Brain
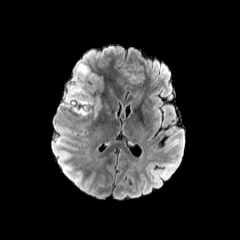
FLAIR MRI.
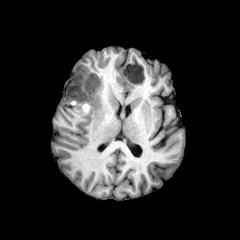
Same slice, T1-weighted MRI.
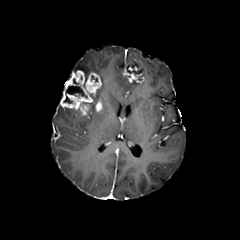
Post-contrast T1-weighted magnetic resonance of the same slice.
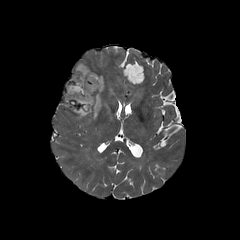
T2-weighted MR image of the same slice.
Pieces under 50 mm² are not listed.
enhancing tumor: x1=60 y1=70 x2=102 y2=115, x1=122 y1=64 x2=144 y2=85 | necrotic tumor core: x1=65 y1=85 x2=86 y2=97, x1=83 y1=89 x2=99 y2=107 | peritumoral edema: x1=73 y1=60 x2=92 y2=73